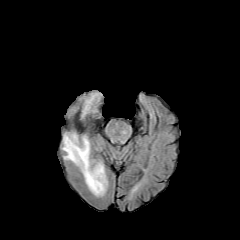
FLAIR MR image.
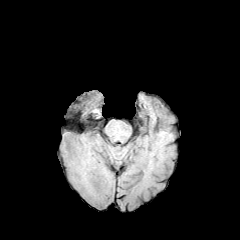
T1-weighted magnetic resonance.
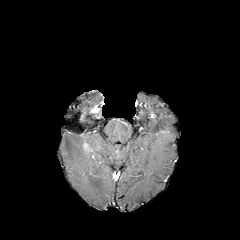
Post-contrast T1-weighted MRI of the same slice.
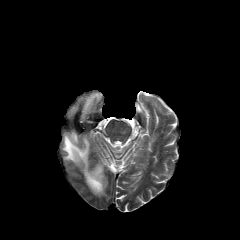
T2-weighted MR image.
240x240 | Head | Axial view
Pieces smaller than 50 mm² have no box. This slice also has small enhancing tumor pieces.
The 2 largest peritumoral edema regions appear at 82,92,100,117; 62,132,107,196.